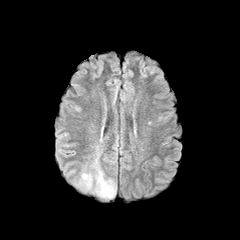
FLAIR MR.
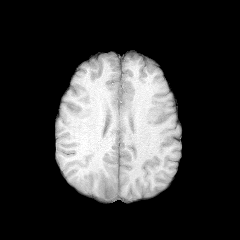
T1-weighted MR image.
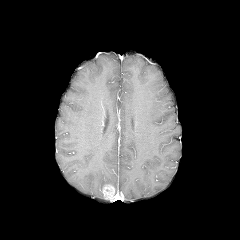
Post-contrast T1-weighted MR of the same slice.
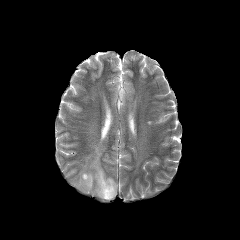
Same slice, T2-weighted MRI.
Axial slice; Brain; 240x240 px
- enhancing tumor: box=[102, 185, 114, 199]
- peritumoral edema: box=[74, 151, 116, 200]